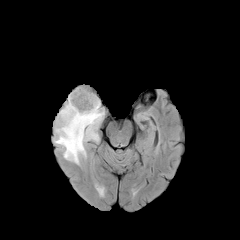
FLAIR MR image.
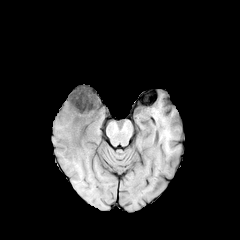
T1-weighted MR image.
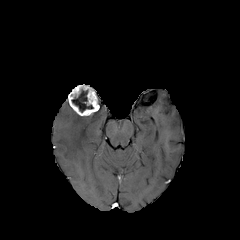
Post-contrast T1-weighted MR image.
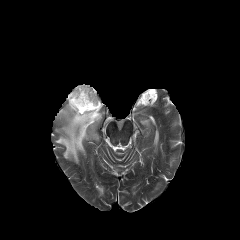
Same slice, T2-weighted magnetic resonance.
Axial view | Image size 240x240
{
  "enhancing_tumor": [
    "67 84 99 115"
  ],
  "peritumoral_edema": [
    "54 100 104 164"
  ],
  "necrotic_tumor_core": [
    "72 90 92 112"
  ]
}